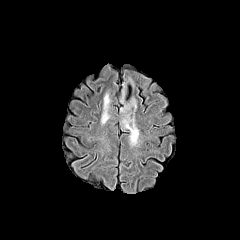
FLAIR MRI.
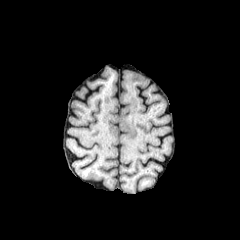
T1-weighted MRI.
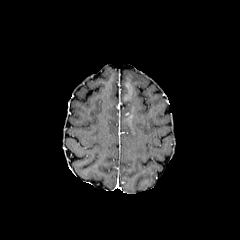
Post-contrast T1-weighted MRI.
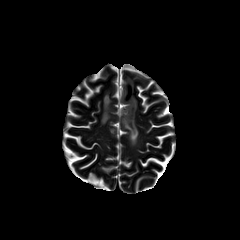
T2-weighted magnetic resonance.
Head
peritumoral edema: (left=101, top=93, right=110, bottom=124), (left=119, top=75, right=139, bottom=145)